FLAIR MRI.
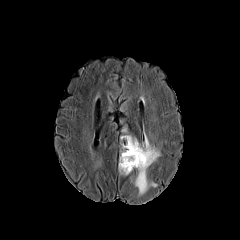
T1-weighted MR.
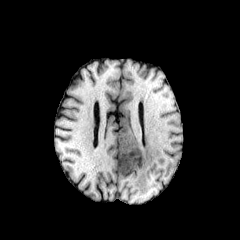
Post-contrast T1-weighted magnetic resonance.
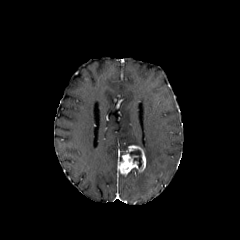
T2-weighted MRI.
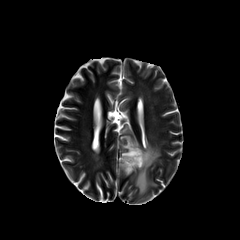
Brain.
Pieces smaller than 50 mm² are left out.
necrotic tumor core at {"x1": 129, "y1": 150, "x2": 141, "y2": 167}
enhancing tumor at {"x1": 118, "y1": 145, "x2": 146, "y2": 175}
peritumoral edema at {"x1": 120, "y1": 135, "x2": 140, "y2": 149}, {"x1": 134, "y1": 136, "x2": 160, "y2": 195}